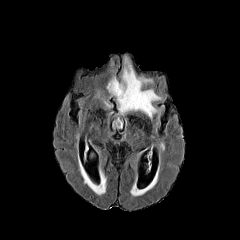
FLAIR MRI.
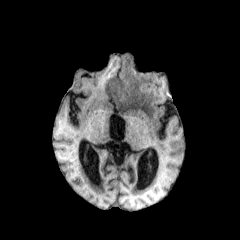
T1-weighted MRI.
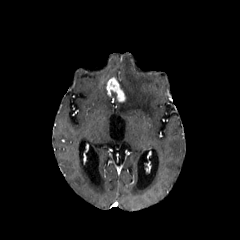
Post-contrast T1-weighted MR image of the same slice.
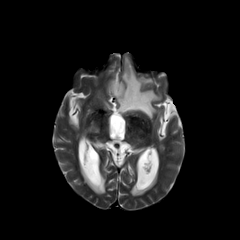
Same slice, T2-weighted MRI.
Brain
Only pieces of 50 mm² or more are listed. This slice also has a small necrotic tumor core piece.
• enhancing tumor: 106:77:125:102
• peritumoral edema: 84:180:104:194, 117:56:161:118